FLAIR MRI.
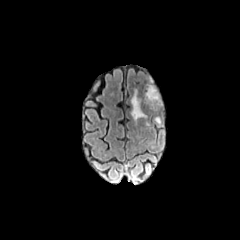
T1-weighted magnetic resonance.
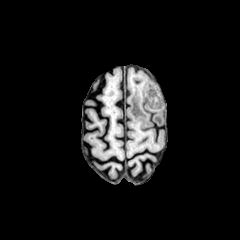
Post-contrast T1-weighted magnetic resonance.
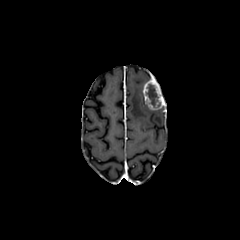
T2-weighted MR.
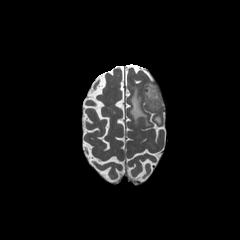
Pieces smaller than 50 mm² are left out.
necrotic tumor core = box=[146, 84, 158, 106]
peritumoral edema = box=[154, 115, 161, 124]; box=[130, 88, 147, 121]
enhancing tumor = box=[142, 78, 164, 110]